Image width 240 mm, 1.00 mm slice spacing
FLAIR MR image.
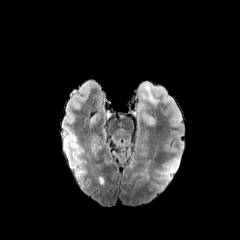
T1-weighted MR image.
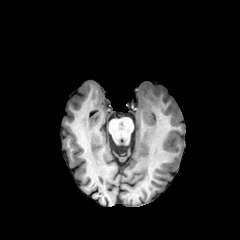
Post-contrast T1-weighted magnetic resonance.
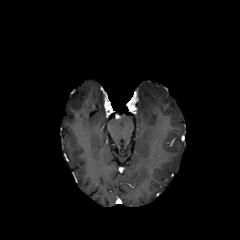
T2-weighted MR.
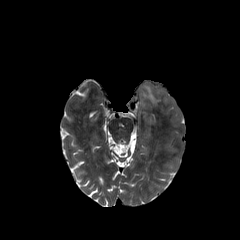
The peritumoral edema lies within box(137, 80, 177, 116).